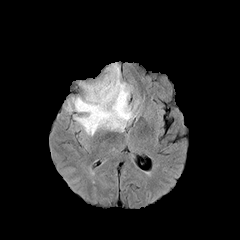
FLAIR MRI.
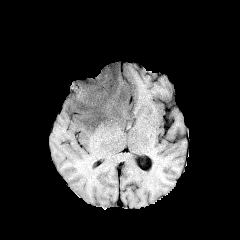
T1-weighted MR image of the same slice.
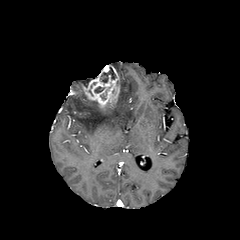
Post-contrast T1-weighted MR.
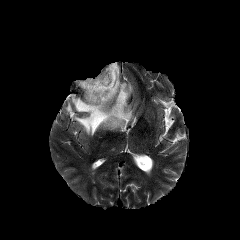
T2-weighted magnetic resonance of the same slice.
Axial slice; Image size 240x240
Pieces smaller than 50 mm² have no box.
The largest peritumoral edema region is bounded by 71,63,138,135. The enhancing tumor is bounded by 81,64,120,110. The largest necrotic tumor core region is located at 101,67,115,82.